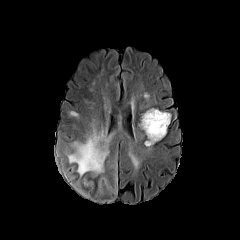
FLAIR magnetic resonance.
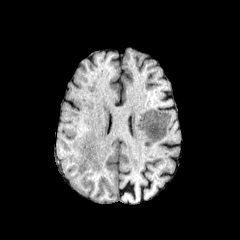
Same slice, T1-weighted MR image.
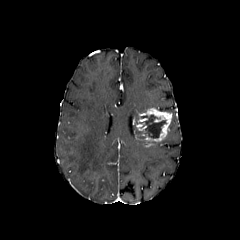
Same slice, post-contrast T1-weighted magnetic resonance.
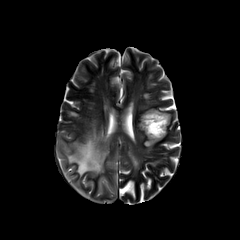
Same slice, T2-weighted magnetic resonance.
Brain, Image size 240x240
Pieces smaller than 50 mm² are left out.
The 4 largest peritumoral edema regions appear at rect(95, 158, 116, 196); rect(62, 161, 90, 196); rect(129, 152, 139, 168); rect(60, 124, 112, 193). The largest necrotic tumor core region appears at rect(141, 115, 165, 138). The enhancing tumor is at rect(137, 108, 171, 146).